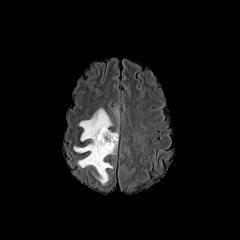
FLAIR magnetic resonance.
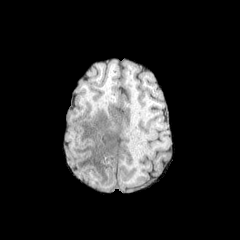
T1-weighted magnetic resonance.
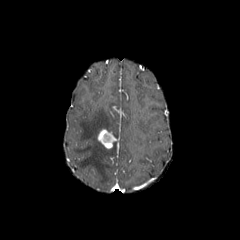
Post-contrast T1-weighted MR image.
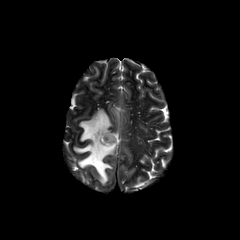
T2-weighted MR image.
Axial slice. Head. 240x240 px.
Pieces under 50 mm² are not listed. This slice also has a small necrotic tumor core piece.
peritumoral edema: (74,108,117,184) | enhancing tumor: (97,129,117,148)